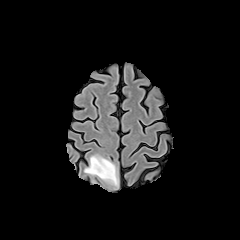
FLAIR MR.
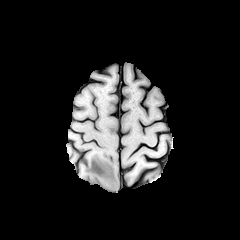
Same slice, T1-weighted MRI.
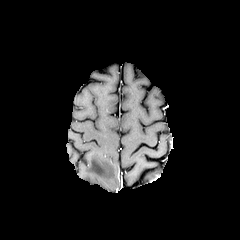
Post-contrast T1-weighted MRI of the same slice.
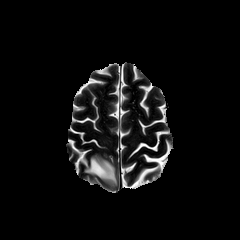
T2-weighted magnetic resonance.
Brain. Axial plane.
The peritumoral edema appears at {"x1": 84, "y1": 155, "x2": 117, "y2": 187}.